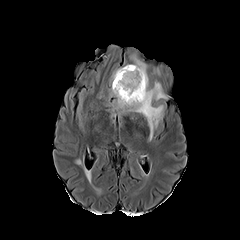
FLAIR magnetic resonance.
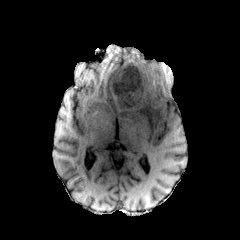
Same slice, T1-weighted MR.
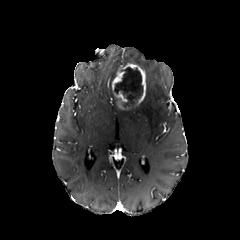
Post-contrast T1-weighted MRI.
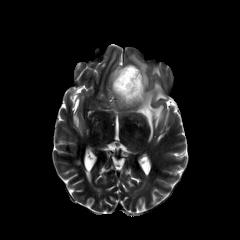
T2-weighted MR.
240x240
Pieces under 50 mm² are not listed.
Annotated regions:
• necrotic tumor core: region(114, 67, 142, 107)
• peritumoral edema: region(133, 57, 146, 71); region(122, 73, 167, 140)
• enhancing tumor: region(112, 63, 146, 109)